Slice 113 of 155. Image size 240x240.
FLAIR MR image.
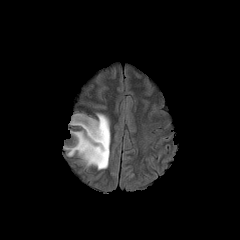
T1-weighted magnetic resonance.
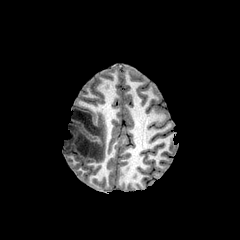
Post-contrast T1-weighted magnetic resonance.
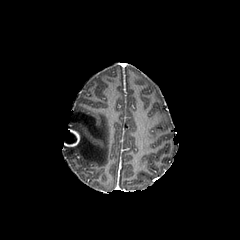
T2-weighted MR image.
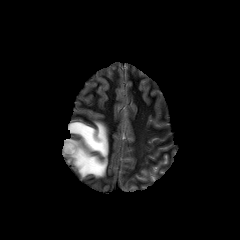
- enhancing tumor: (64, 129, 79, 146)
- necrotic tumor core: (65, 132, 76, 144)
- peritumoral edema: (64, 113, 109, 172)